Brain
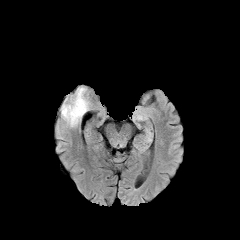
FLAIR magnetic resonance.
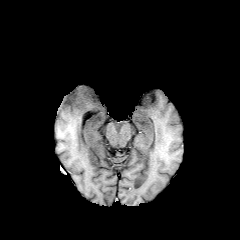
T1-weighted MR.
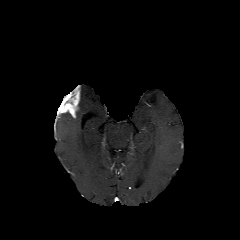
Post-contrast T1-weighted magnetic resonance.
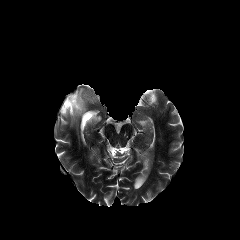
T2-weighted MR image.
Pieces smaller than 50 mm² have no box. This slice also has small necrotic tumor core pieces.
The largest peritumoral edema region lies within [61,86,91,127]. The enhancing tumor is at [59,86,80,118].